Slice 62 of 155 | Brain
FLAIR MR image.
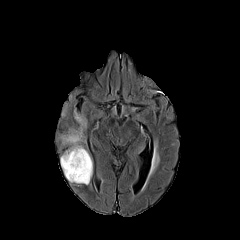
T1-weighted magnetic resonance.
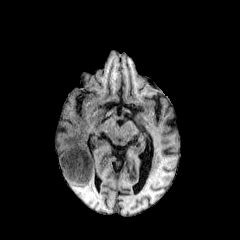
Post-contrast T1-weighted magnetic resonance.
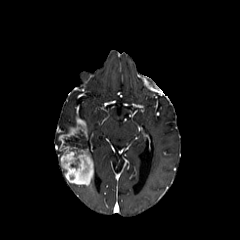
T2-weighted magnetic resonance.
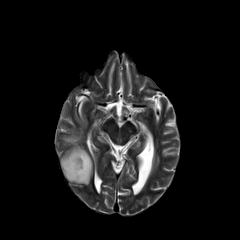
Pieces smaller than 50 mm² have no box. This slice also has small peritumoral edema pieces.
necrotic_tumor_core:
  - (left=64, top=130, right=84, bottom=153)
enhancing_tumor:
  - (left=58, top=115, right=93, bottom=185)